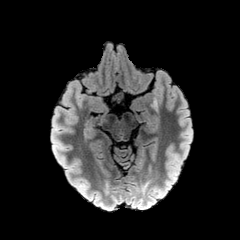
FLAIR MR image.
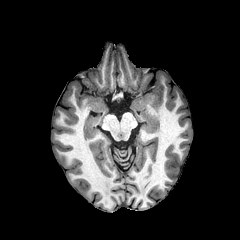
T1-weighted MR.
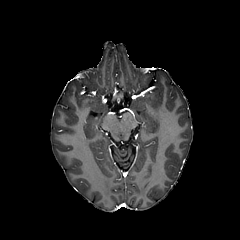
Same slice, post-contrast T1-weighted MR image.
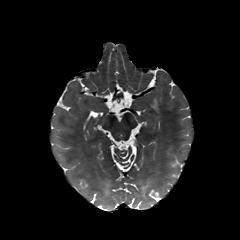
T2-weighted MR.
Axial plane
The peritumoral edema is located at l=151, t=98, r=158, b=110.